Head, Slice 60 of 155
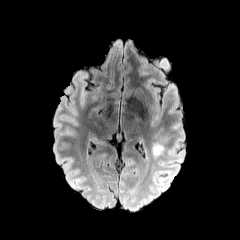
FLAIR MRI.
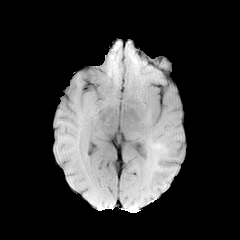
T1-weighted magnetic resonance of the same slice.
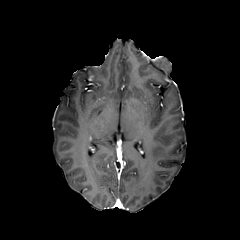
Post-contrast T1-weighted MRI of the same slice.
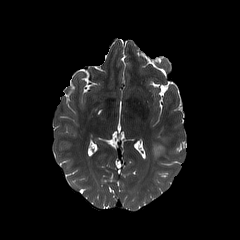
T2-weighted MRI.
<segmentation>
  <peritumoral_edema><bbox>152, 144, 164, 158</bbox></peritumoral_edema>
</segmentation>